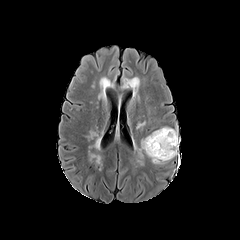
FLAIR MR.
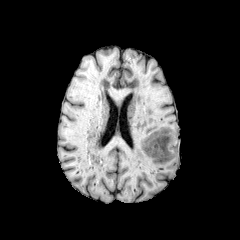
T1-weighted MR image of the same slice.
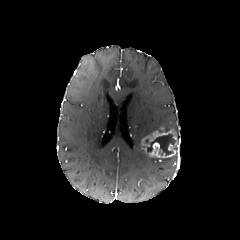
Post-contrast T1-weighted MR of the same slice.
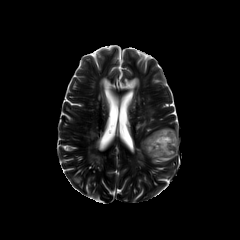
T2-weighted magnetic resonance of the same slice.
Axial view.
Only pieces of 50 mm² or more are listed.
The largest peritumoral edema region appears at {"x1": 149, "y1": 157, "x2": 170, "y2": 163}. The largest necrotic tumor core region lies within {"x1": 147, "y1": 134, "x2": 175, "y2": 154}. The largest enhancing tumor region appears at {"x1": 141, "y1": 129, "x2": 180, "y2": 159}.